Axial slice | Head
FLAIR MRI.
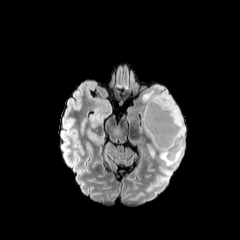
T1-weighted magnetic resonance.
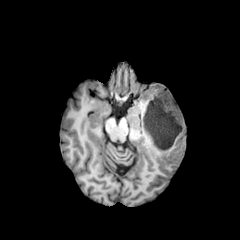
Post-contrast T1-weighted MRI.
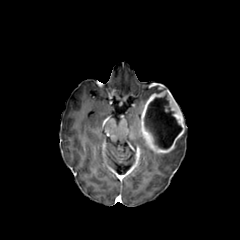
T2-weighted magnetic resonance.
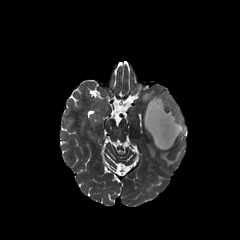
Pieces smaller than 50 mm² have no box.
peritumoral edema: box=[142, 85, 161, 104]; box=[159, 125, 185, 165]
necrotic tumor core: box=[144, 96, 182, 149]
enhancing tumor: box=[139, 86, 184, 153]